Head, Axial plane, Slice 101/155
FLAIR magnetic resonance.
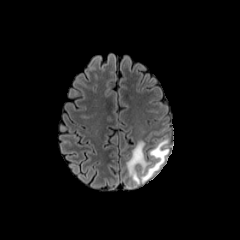
T1-weighted MR.
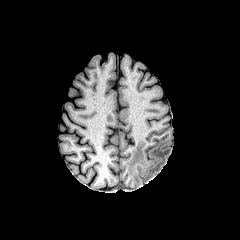
Post-contrast T1-weighted MR image.
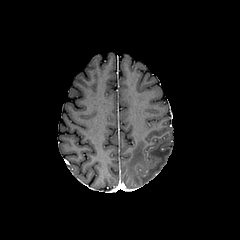
T2-weighted magnetic resonance.
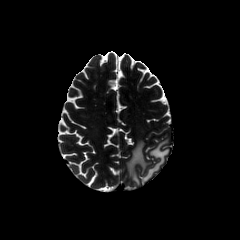
The peritumoral edema is bounded by [x1=126, y1=139, x2=169, y2=184].